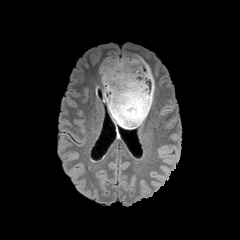
FLAIR MRI.
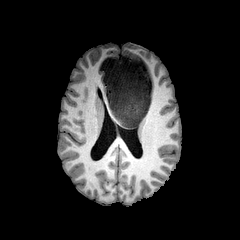
T1-weighted MR.
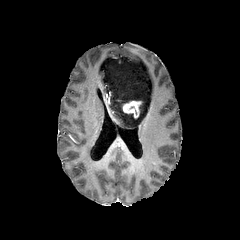
Post-contrast T1-weighted magnetic resonance of the same slice.
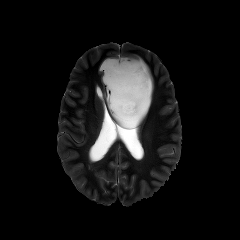
T2-weighted MRI.
Axial view | 240x240
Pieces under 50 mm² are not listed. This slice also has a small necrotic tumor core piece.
enhancing tumor = <box>122,101,141,118</box>
peritumoral edema = <box>100,56,154,127</box>